FLAIR magnetic resonance.
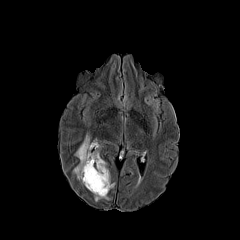
T1-weighted MRI.
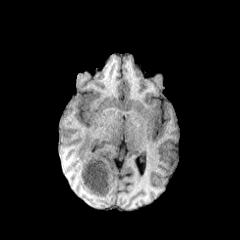
Post-contrast T1-weighted MRI.
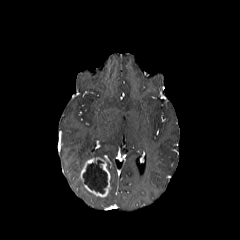
T2-weighted MRI.
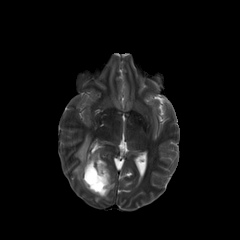
Head | 240x240
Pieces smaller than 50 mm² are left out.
The largest peritumoral edema region appears at x1=73, y1=134, x2=99, y2=180. The necrotic tumor core is at x1=83, y1=160, x2=107, y2=193. The enhancing tumor lies within x1=80, y1=157, x2=110, y2=197.